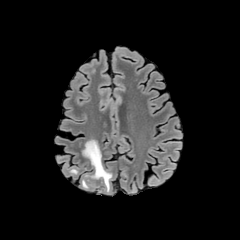
FLAIR magnetic resonance.
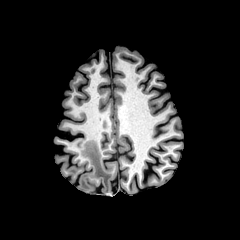
T1-weighted magnetic resonance of the same slice.
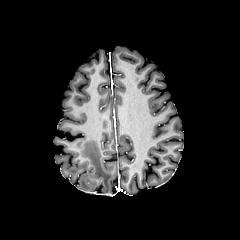
Post-contrast T1-weighted magnetic resonance.
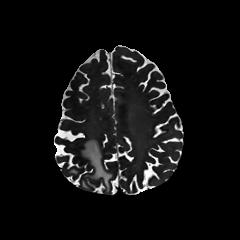
T2-weighted MR.
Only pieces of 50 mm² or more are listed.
peritumoral edema: (x1=82, y1=139, x2=112, y2=190)